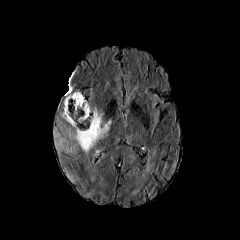
FLAIR MR image.
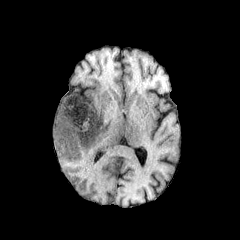
T1-weighted magnetic resonance of the same slice.
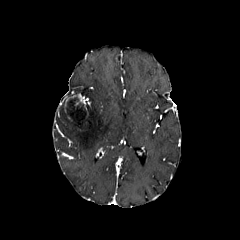
Post-contrast T1-weighted magnetic resonance.
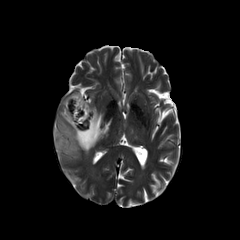
T2-weighted MR image.
240x240. Axial view.
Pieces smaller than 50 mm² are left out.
{"enhancing_tumor": ["(64,92,86,121)"], "necrotic_tumor_core": ["(66,97,90,129)"], "peritumoral_edema": ["(54,130,74,152)", "(61,108,110,153)"]}